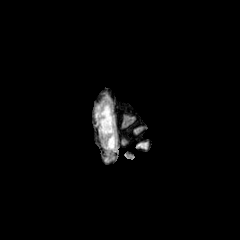
FLAIR MRI.
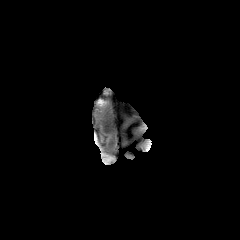
T1-weighted magnetic resonance.
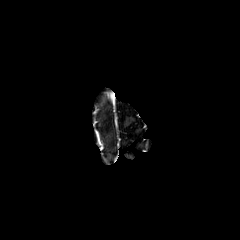
Post-contrast T1-weighted MRI.
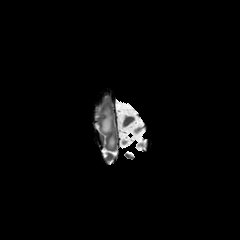
T2-weighted MRI of the same slice.
240x240 | Axial plane | Brain
The peritumoral edema lies within box(97, 103, 115, 148).